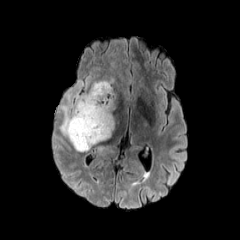
FLAIR MR image.
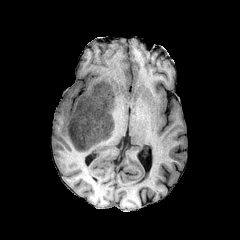
T1-weighted MR.
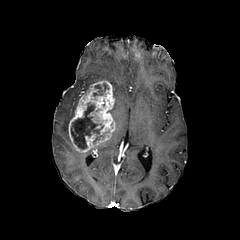
Post-contrast T1-weighted MR.
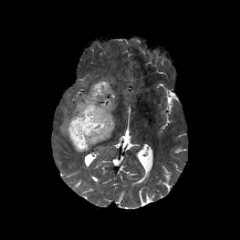
T2-weighted MR image of the same slice.
Head
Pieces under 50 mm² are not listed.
necrotic tumor core at (71, 105, 103, 149)
enhancing tumor at (68, 80, 115, 152)
peritumoral edema at (55, 77, 97, 140), (98, 77, 114, 86)